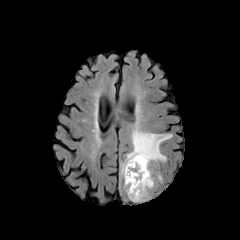
FLAIR MR image.
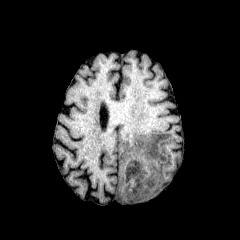
Same slice, T1-weighted magnetic resonance.
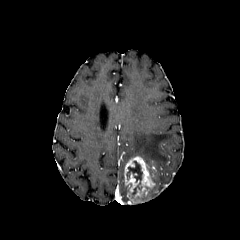
Same slice, post-contrast T1-weighted MR image.
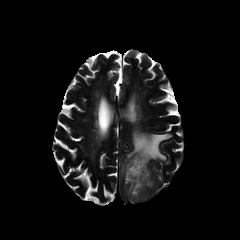
T2-weighted MR of the same slice.
Axial view.
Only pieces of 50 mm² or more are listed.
enhancing tumor: left=124, top=156, right=155, bottom=202
peritumoral edema: left=121, top=127, right=172, bottom=176
necrotic tumor core: left=127, top=161, right=142, bottom=184